FLAIR MR image.
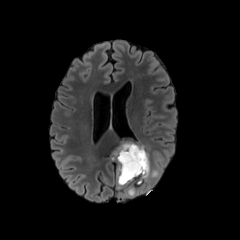
T1-weighted MRI.
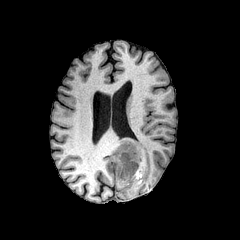
Post-contrast T1-weighted magnetic resonance.
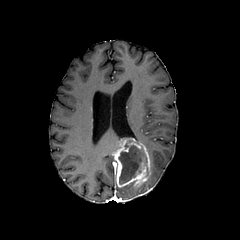
T2-weighted MR.
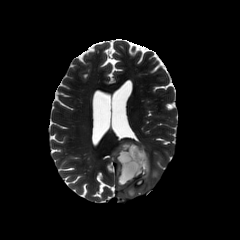
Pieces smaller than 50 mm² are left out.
The largest necrotic tumor core region lies within [x1=118, y1=145, x2=145, y2=184]. The enhancing tumor lies within [x1=112, y1=140, x2=150, y2=187]. The 2 largest peritumoral edema regions appear at [x1=145, y1=164, x2=159, y2=182], [x1=126, y1=187, x2=135, y2=196].